FLAIR MR.
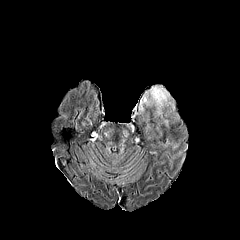
T1-weighted MR image.
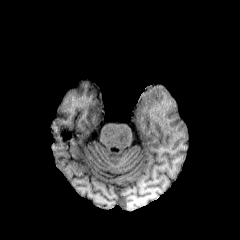
Post-contrast T1-weighted MR image.
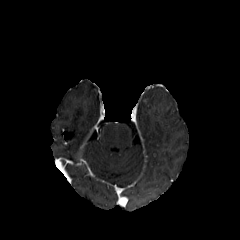
T2-weighted MR.
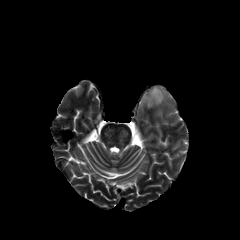
Image size 240x240 | Brain
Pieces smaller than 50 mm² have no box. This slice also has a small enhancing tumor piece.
Segmented structures:
- peritumoral edema: bbox(140, 87, 170, 115)